FLAIR MR.
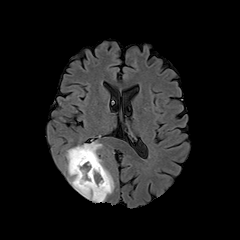
T1-weighted MR image.
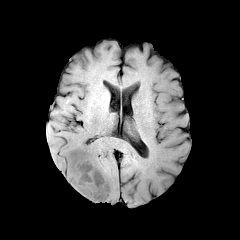
Post-contrast T1-weighted MR.
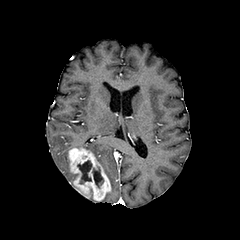
T2-weighted MR.
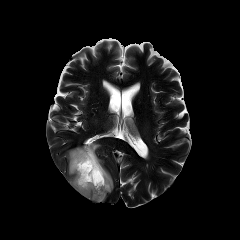
Brain.
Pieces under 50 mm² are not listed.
The enhancing tumor is bounded by x1=68, y1=148, x2=111, y2=201. The 2 largest peritumoral edema regions are bounded by x1=74, y1=142, x2=114, y2=202; x1=65, y1=149, x2=78, y2=185. 2 necrotic tumor core regions are bounded by x1=92, y1=167, x2=103, y2=188; x1=77, y1=160, x2=92, y2=184.